Image width 240 mm, Axial plane
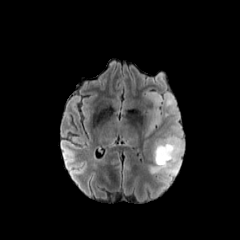
FLAIR MR image.
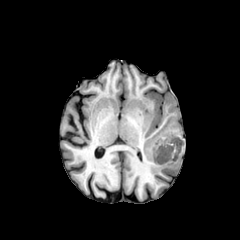
Same slice, T1-weighted MRI.
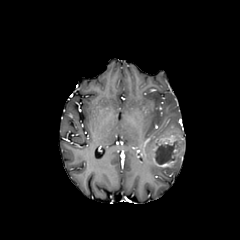
Post-contrast T1-weighted MR image.
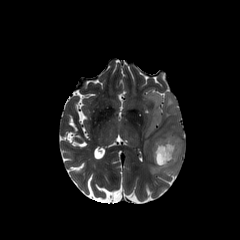
T2-weighted MR.
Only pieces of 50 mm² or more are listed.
enhancing tumor — [152,131,183,167]
peritumoral edema — [142,90,184,155], [150,158,181,177]
necrotic tumor core — [155,141,177,164]